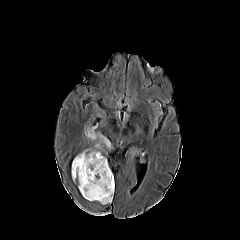
FLAIR magnetic resonance.
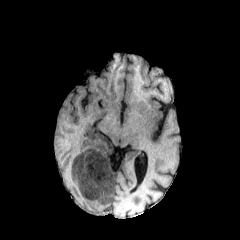
T1-weighted MR image.
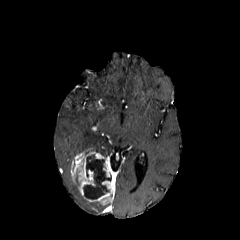
Post-contrast T1-weighted MR image.
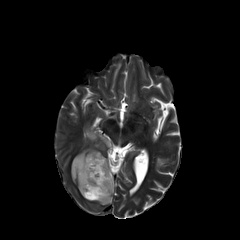
Same slice, T2-weighted MRI.
Image size 240x240 | Head
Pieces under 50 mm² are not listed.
<segmentation>
  <peritumoral_edema><box>85,127,110,152</box></peritumoral_edema>
  <necrotic_tumor_core><box>83,155,111,199</box></necrotic_tumor_core>
  <enhancing_tumor><box>71,148,114,205</box></enhancing_tumor>
</segmentation>